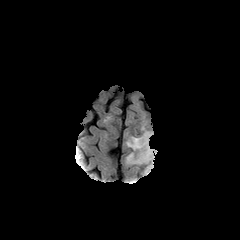
FLAIR MR.
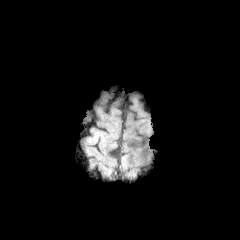
T1-weighted MR image.
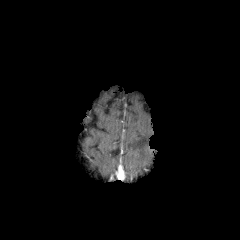
Post-contrast T1-weighted MR of the same slice.
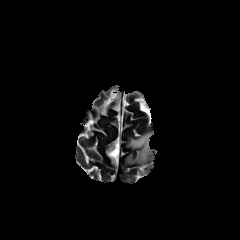
Same slice, T2-weighted magnetic resonance.
Axial slice, Brain
The peritumoral edema is bounded by [126,132,152,164].